FLAIR magnetic resonance.
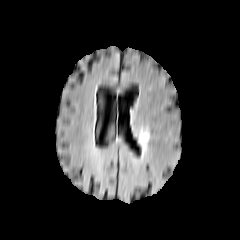
T1-weighted MR.
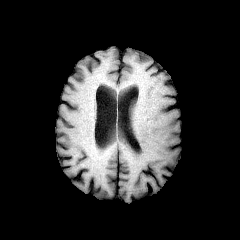
Post-contrast T1-weighted MR.
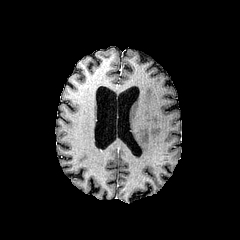
T2-weighted MRI.
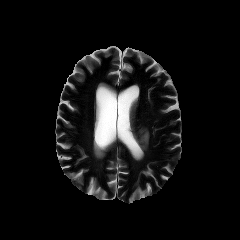
240x240 px | Axial view | Brain
The peritumoral edema is at (139,128,149,150).